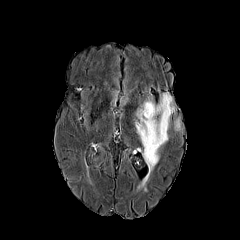
FLAIR MRI.
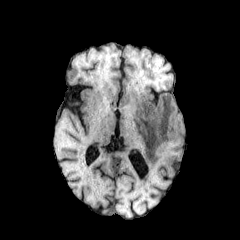
T1-weighted MRI of the same slice.
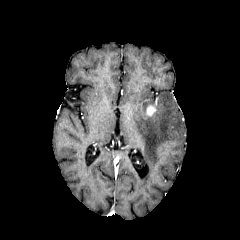
Post-contrast T1-weighted MRI.
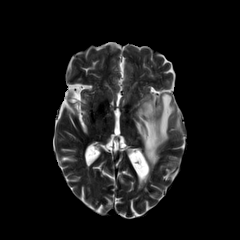
Same slice, T2-weighted MR image.
Brain
Findings:
• peritumoral edema: x1=174, y1=117, x2=181, y2=130; x1=135, y1=93, x2=175, y2=172
• enhancing tumor: x1=145, y1=104, x2=157, y2=116